Head, Slice 59/155
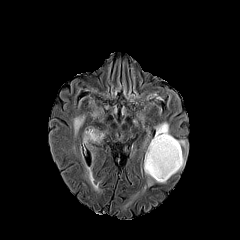
FLAIR MRI.
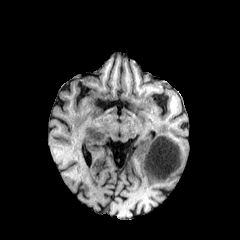
Same slice, T1-weighted magnetic resonance.
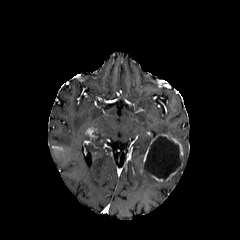
Post-contrast T1-weighted MR of the same slice.
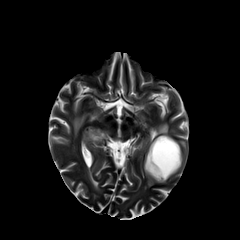
T2-weighted MR image.
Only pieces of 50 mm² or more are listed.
enhancing_tumor:
  - [86, 129, 96, 137]
  - [143, 134, 182, 166]
peritumoral_edema:
  - [129, 144, 136, 157]
  - [74, 116, 84, 133]
  - [155, 123, 171, 136]
  - [144, 171, 165, 188]
  - [84, 126, 105, 144]
necrotic_tumor_core:
  - [144, 135, 181, 180]